FLAIR magnetic resonance.
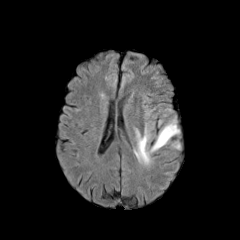
T1-weighted MR image.
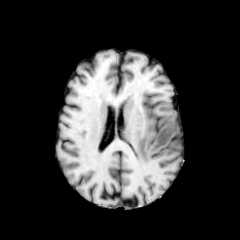
Post-contrast T1-weighted MR image.
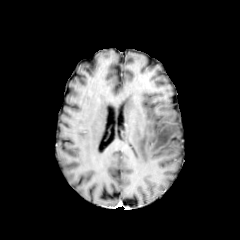
T2-weighted magnetic resonance.
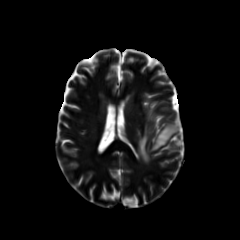
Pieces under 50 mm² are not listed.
The 2 largest peritumoral edema regions appear at [138, 137, 149, 161], [151, 124, 177, 151].